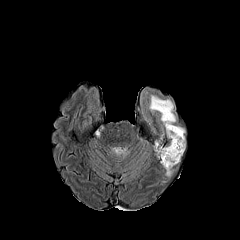
FLAIR MR image.
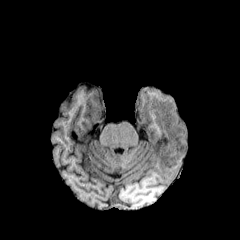
T1-weighted magnetic resonance.
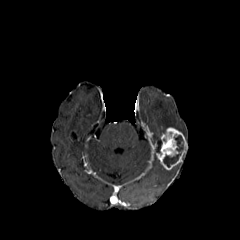
Post-contrast T1-weighted MR image.
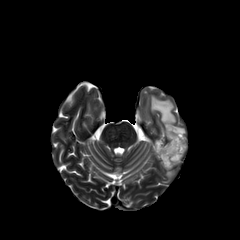
T2-weighted MRI.
Head
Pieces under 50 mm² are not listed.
enhancing tumor at [156,127,186,169]
necrotic tumor core at [174,135,183,151], [163,153,180,167], [156,141,161,153]
peritumoral edema at [149,93,185,134], [165,169,174,177]